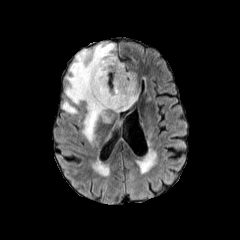
FLAIR MRI.
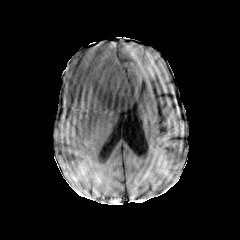
T1-weighted MR of the same slice.
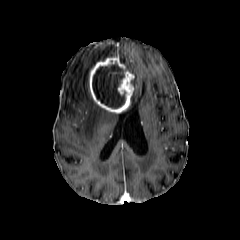
Post-contrast T1-weighted MR image.
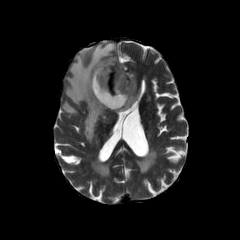
Same slice, T2-weighted MR.
Brain.
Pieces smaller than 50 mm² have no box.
peritumoral edema at 62:100:78:114, 129:70:138:104, 64:42:116:142
enhancing tumor at 89:57:134:113
necrotic tumor core at 92:63:124:108